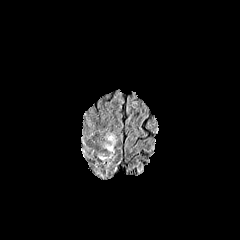
FLAIR MRI.
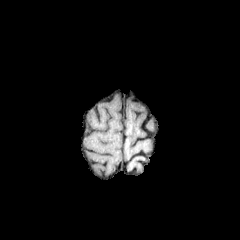
T1-weighted MR image.
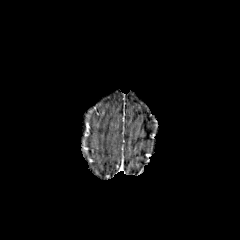
Post-contrast T1-weighted MRI.
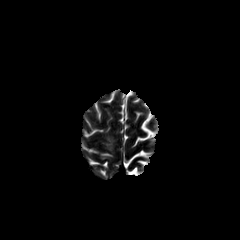
T2-weighted MR image.
Axial plane.
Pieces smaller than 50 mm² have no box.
Segmented structures:
- peritumoral edema: region(104, 133, 115, 157)